FLAIR MR image.
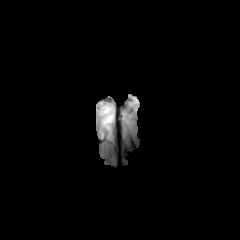
T1-weighted MRI.
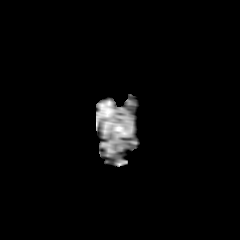
Post-contrast T1-weighted MRI.
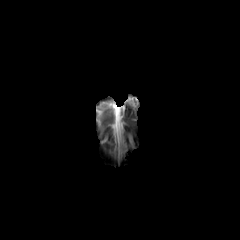
T2-weighted MR image.
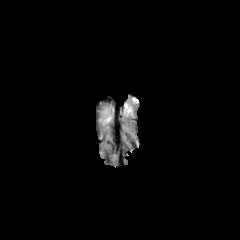
Brain; 240x240
The peritumoral edema is bounded by x1=101, y1=105, x2=113, y2=131.